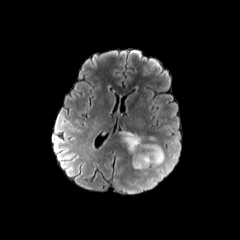
FLAIR MRI.
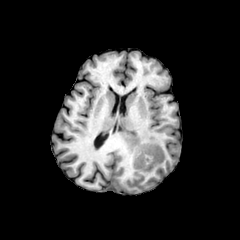
T1-weighted MR.
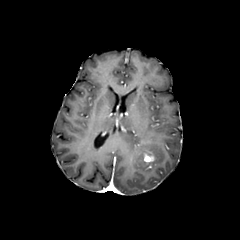
Post-contrast T1-weighted MRI.
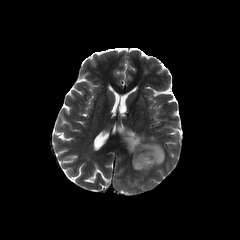
T2-weighted MR image.
Axial view; 240x240; Brain
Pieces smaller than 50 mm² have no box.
peritumoral edema = <bbox>121, 130, 164, 170</bbox>
enhancing tumor = <bbox>144, 155, 154, 162</bbox>